Image covers 240 mm x 240 mm | 240x240 px
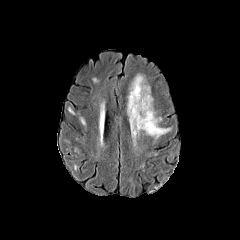
FLAIR MR image.
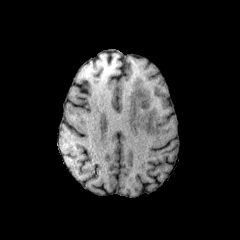
T1-weighted MR of the same slice.
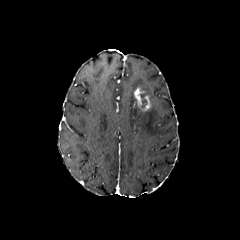
Post-contrast T1-weighted MRI.
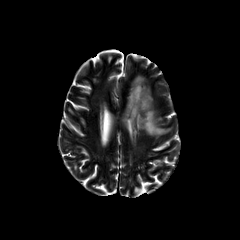
Same slice, T2-weighted MRI.
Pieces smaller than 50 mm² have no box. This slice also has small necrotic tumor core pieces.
The enhancing tumor is located at box(134, 87, 150, 111). The peritumoral edema is located at box(127, 74, 170, 138).